Axial plane | Slice index 92 | Brain
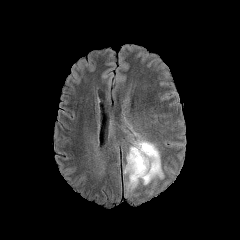
FLAIR MR image.
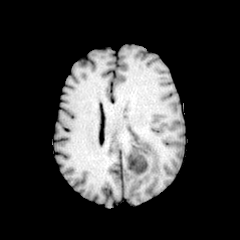
T1-weighted MRI.
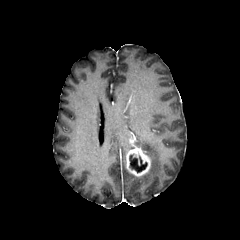
Same slice, post-contrast T1-weighted MRI.
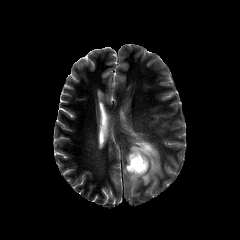
T2-weighted MR image of the same slice.
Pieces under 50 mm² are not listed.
Annotated regions:
• enhancing tumor: x1=126, y1=140, x2=150, y2=176
• peritumoral edema: x1=124, y1=133, x2=162, y2=188
• necrotic tumor core: x1=129, y1=154, x2=147, y2=172